FLAIR MR.
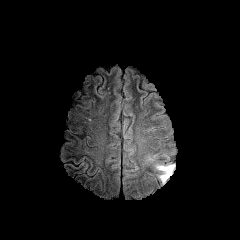
T1-weighted MR.
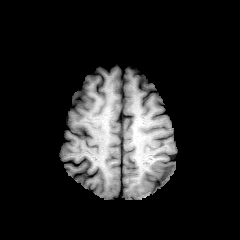
Post-contrast T1-weighted magnetic resonance.
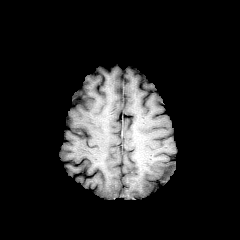
T2-weighted magnetic resonance.
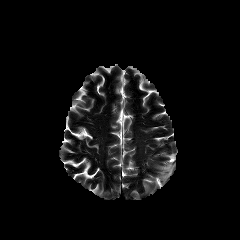
Axial view; Image size 240x240
<segmentation>
  <peritumoral_edema><bbox>157, 164, 174, 181</bbox></peritumoral_edema>
</segmentation>